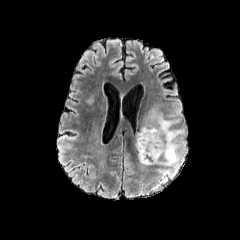
FLAIR magnetic resonance.
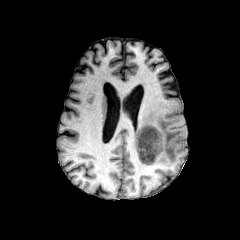
T1-weighted MR of the same slice.
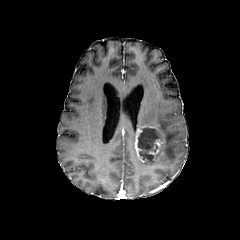
Post-contrast T1-weighted MR image.
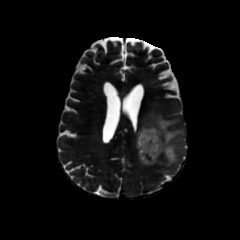
T2-weighted magnetic resonance of the same slice.
Axial view, Brain, 240x240
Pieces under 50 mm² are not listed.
necrotic tumor core: bounding box <bbox>138, 127, 159, 161</bbox>
enhancing tumor: bounding box <bbox>134, 124, 164, 162</bbox>
peritumoral edema: bounding box <bbox>139, 105, 186, 172</bbox>